FLAIR MR image.
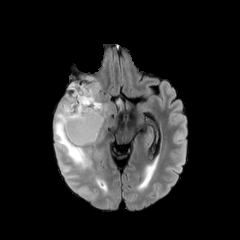
T1-weighted MR image.
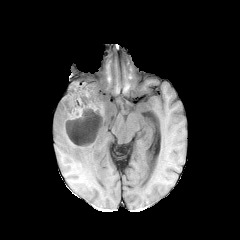
Post-contrast T1-weighted MR.
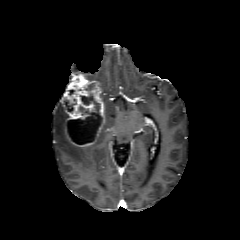
T2-weighted MR.
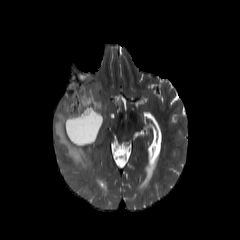
240x240 px
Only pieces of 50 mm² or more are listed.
necrotic tumor core at x1=65 y1=99 x2=76 y2=111, x1=67 y1=94 x2=101 y2=144
peritumoral edema at x1=54 y1=103 x2=92 y2=168
enhancing tumor at x1=64 y1=120 x2=95 y2=146, x1=62 y1=76 x2=105 y2=137